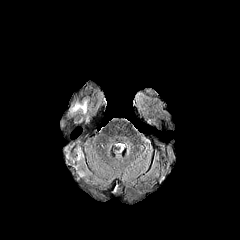
FLAIR MRI.
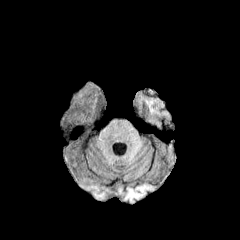
T1-weighted MR.
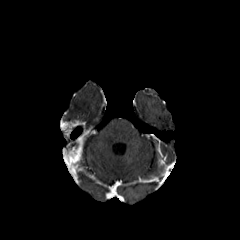
Post-contrast T1-weighted MR.
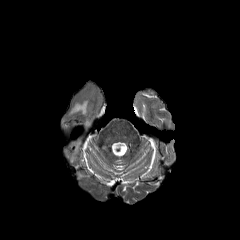
Same slice, T2-weighted magnetic resonance.
Axial plane. 240x240.
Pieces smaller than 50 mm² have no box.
<segmentation>
  <enhancing_tumor>64:120:81:135, 65:141:81:162</enhancing_tumor>
  <peritumoral_edema>71:101:87:113</peritumoral_edema>
</segmentation>